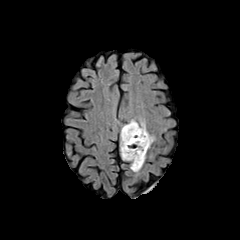
FLAIR magnetic resonance.
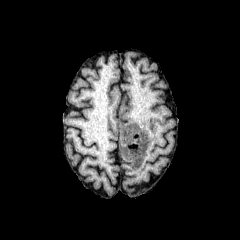
T1-weighted magnetic resonance.
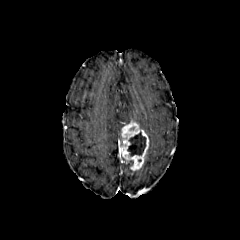
Same slice, post-contrast T1-weighted MRI.
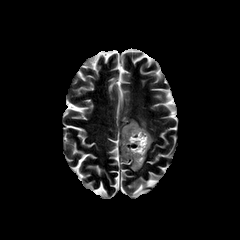
Same slice, T2-weighted MRI.
Brain
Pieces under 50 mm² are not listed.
The largest necrotic tumor core region is at bbox=[127, 132, 145, 155]. The largest peritumoral edema region is bounded by bbox=[138, 118, 155, 145]. The enhancing tumor is located at bbox=[119, 120, 149, 170].